FLAIR magnetic resonance.
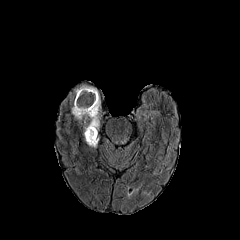
T1-weighted MRI.
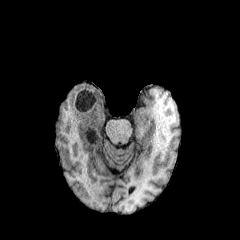
Post-contrast T1-weighted magnetic resonance.
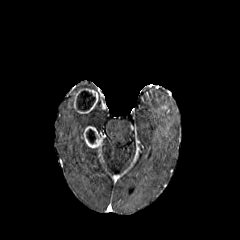
T2-weighted MRI.
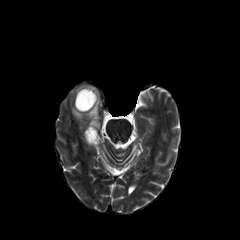
Axial plane | 240x240 px
peritumoral edema = left=68, top=83, right=101, bottom=130
enhancing tumor = left=83, top=126, right=101, bottom=148; left=73, top=88, right=98, bottom=113
necrotic tumor core = left=86, top=129, right=96, bottom=143; left=76, top=90, right=95, bottom=110